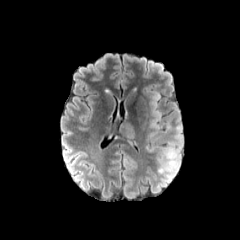
FLAIR MR image.
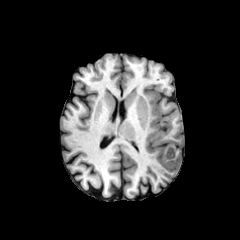
T1-weighted magnetic resonance.
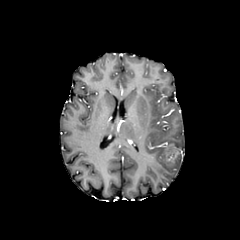
Same slice, post-contrast T1-weighted MR image.
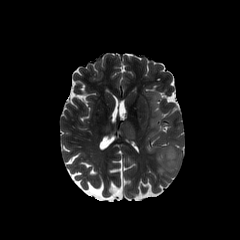
T2-weighted MR image of the same slice.
Head | 240x240 px
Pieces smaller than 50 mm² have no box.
The enhancing tumor is bounded by bbox=[165, 147, 178, 162]. The 2 largest peritumoral edema regions are located at bbox=[140, 86, 174, 125]; bbox=[156, 124, 183, 178].